Axial plane | Slice index 64 | Brain
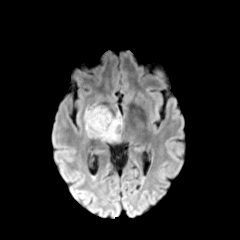
FLAIR MRI.
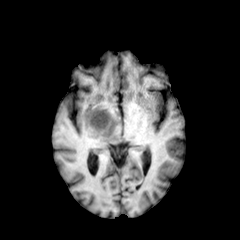
T1-weighted magnetic resonance.
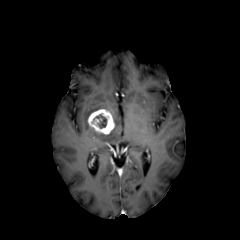
Same slice, post-contrast T1-weighted magnetic resonance.
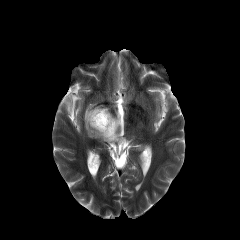
Same slice, T2-weighted MR image.
The enhancing tumor is located at {"x1": 88, "y1": 109, "x2": 114, "y2": 134}. The peritumoral edema is at {"x1": 84, "y1": 106, "x2": 121, "y2": 142}. The necrotic tumor core is located at {"x1": 96, "y1": 114, "x2": 106, "y2": 127}.